Slice 94 of 155, 240x240, Axial slice, Brain
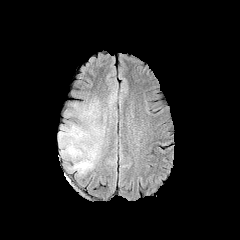
FLAIR MR.
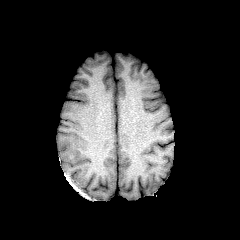
T1-weighted magnetic resonance of the same slice.
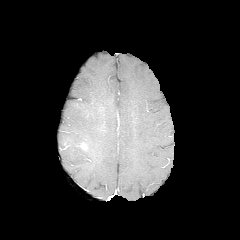
Post-contrast T1-weighted MR of the same slice.
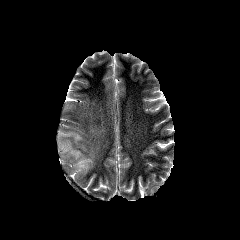
T2-weighted magnetic resonance.
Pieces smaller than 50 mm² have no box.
enhancing tumor — [78,142,87,150]
peritumoral edema — [58,121,103,175], [71,100,98,122]